240x240. Axial plane. Slice 113/155. Head. Image width 240 mm.
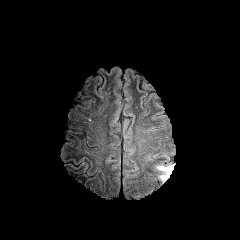
FLAIR magnetic resonance.
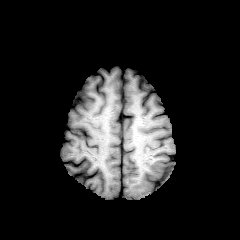
T1-weighted MRI.
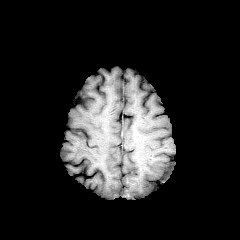
Same slice, post-contrast T1-weighted MR image.
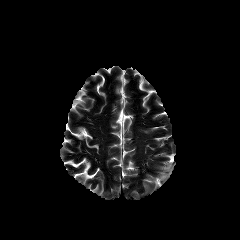
T2-weighted MR.
peritumoral edema — [x1=158, y1=165, x2=173, y2=180]